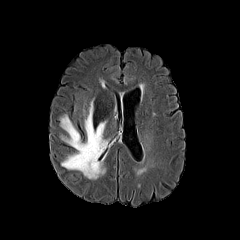
FLAIR MR.
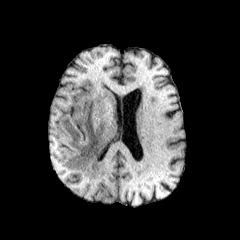
T1-weighted MR of the same slice.
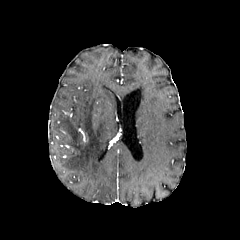
Post-contrast T1-weighted MR.
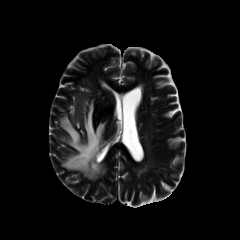
T2-weighted MR of the same slice.
Image size 240x240.
peritumoral_edema:
  - bbox=[60, 101, 107, 179]